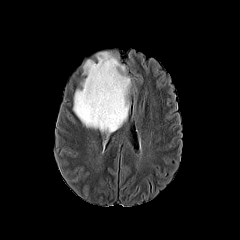
FLAIR MR.
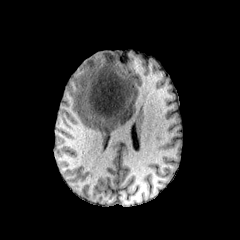
T1-weighted MR.
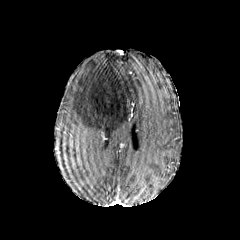
Post-contrast T1-weighted MR.
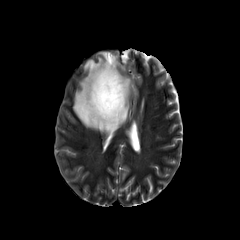
T2-weighted MR.
240x240 px; Head; Axial plane
peritumoral edema: bbox=[73, 52, 131, 135]